FLAIR magnetic resonance.
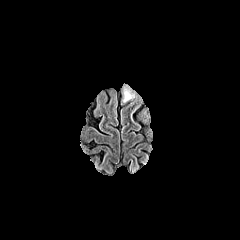
T1-weighted MR image.
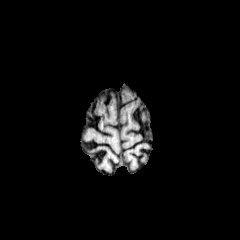
Post-contrast T1-weighted MR image.
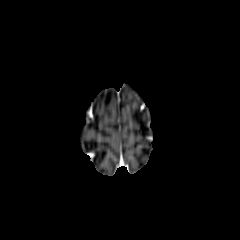
T2-weighted MRI.
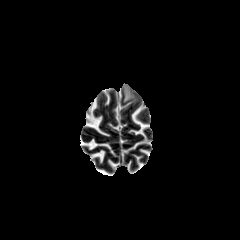
Head; Axial slice
peritumoral edema = bbox=[123, 89, 133, 101]